Slice 63 of 155; Head; Axial slice
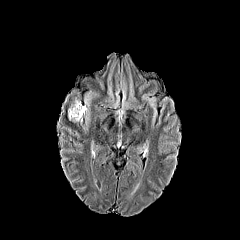
FLAIR MRI.
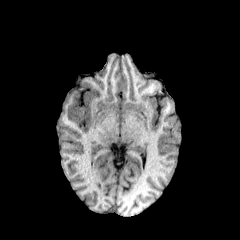
Same slice, T1-weighted MRI.
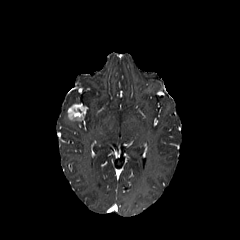
Post-contrast T1-weighted MR.
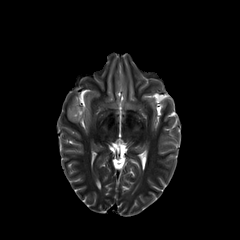
Same slice, T2-weighted magnetic resonance.
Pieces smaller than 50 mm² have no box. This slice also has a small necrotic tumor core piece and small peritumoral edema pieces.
enhancing tumor: (left=68, top=103, right=86, bottom=121)